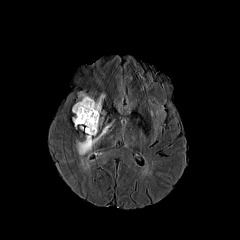
FLAIR MR.
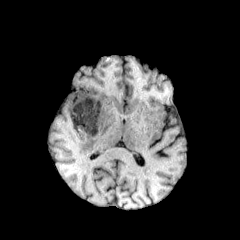
T1-weighted MR image.
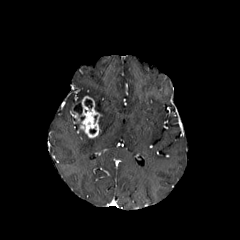
Post-contrast T1-weighted MR image.
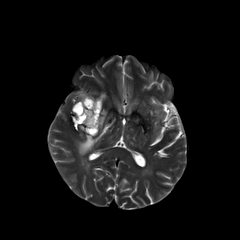
T2-weighted MR.
240x240 px
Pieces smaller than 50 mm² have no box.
{
  "peritumoral_edema": [
    "<bbox>95, 93, 105, 114</bbox>",
    "<bbox>76, 123, 112, 155</bbox>"
  ],
  "necrotic_tumor_core": [
    "<bbox>84, 99, 92, 108</bbox>",
    "<bbox>73, 103, 82, 114</bbox>"
  ],
  "enhancing_tumor": [
    "<bbox>72, 96, 100, 138</bbox>"
  ]
}